Image width 240 mm, 1.00 mm slice spacing | Axial view | Head
FLAIR magnetic resonance.
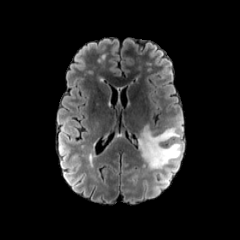
T1-weighted MR.
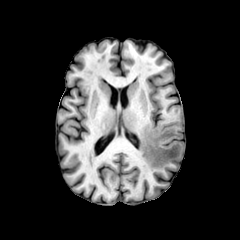
Post-contrast T1-weighted MRI.
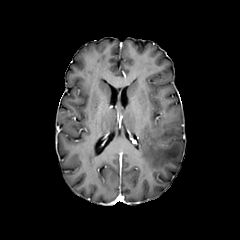
T2-weighted MR.
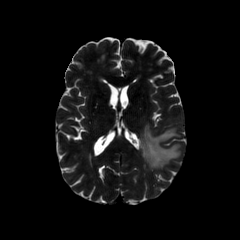
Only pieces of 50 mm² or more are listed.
<segmentation>
  <peritumoral_edema>region(138, 125, 182, 168)</peritumoral_edema>
</segmentation>